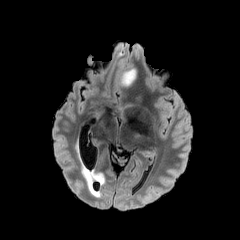
FLAIR MRI.
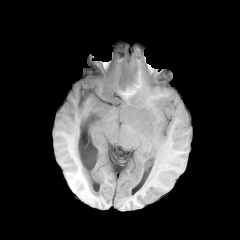
T1-weighted magnetic resonance of the same slice.
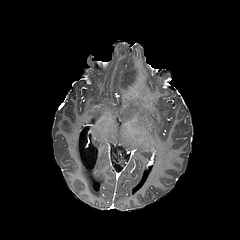
Post-contrast T1-weighted magnetic resonance.
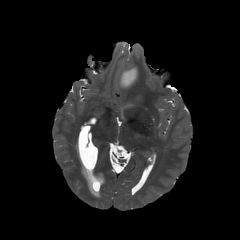
Same slice, T2-weighted magnetic resonance.
Head.
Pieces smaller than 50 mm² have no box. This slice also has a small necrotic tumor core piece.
The peritumoral edema is located at (left=119, top=67, right=138, bottom=87).